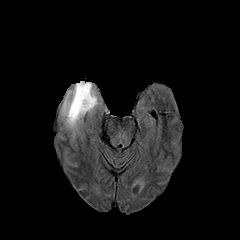
FLAIR MR.
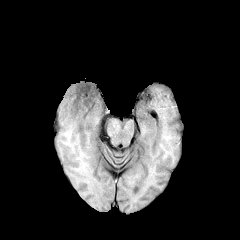
T1-weighted MR image of the same slice.
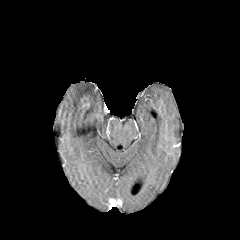
Post-contrast T1-weighted MR image.
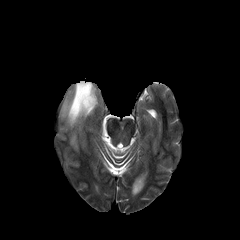
T2-weighted MRI.
240x240
{
  "peritumoral_edema": [
    "x1=61, y1=81, x2=98, y2=142"
  ],
  "enhancing_tumor": [
    "x1=81, y1=97, x2=89, y2=107"
  ]
}